Axial view. Head. Image width 240 mm, 1.00 mm slice spacing. Slice index 37.
FLAIR MRI.
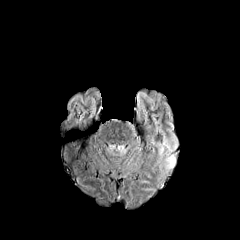
T1-weighted magnetic resonance.
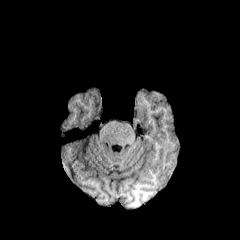
Post-contrast T1-weighted MRI.
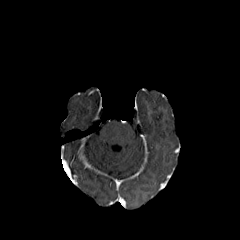
T2-weighted MRI.
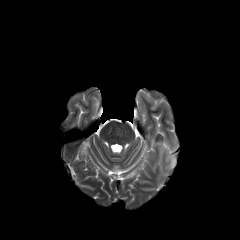
peritumoral edema — rect(159, 135, 176, 169)